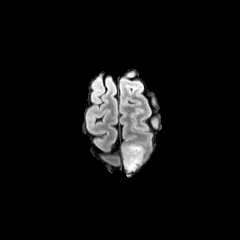
FLAIR MR.
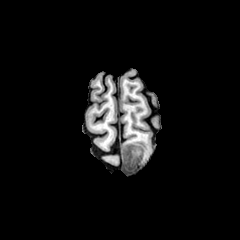
T1-weighted MRI of the same slice.
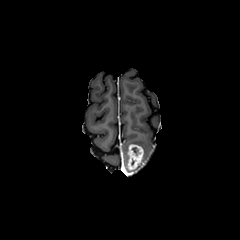
Post-contrast T1-weighted MRI.
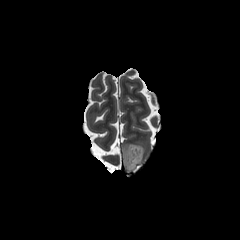
T2-weighted magnetic resonance.
240x240
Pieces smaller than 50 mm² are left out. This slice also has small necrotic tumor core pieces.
Annotated regions:
- enhancing tumor: {"x1": 125, "y1": 144, "x2": 143, "y2": 170}
- peritumoral edema: {"x1": 122, "y1": 144, "x2": 129, "y2": 165}